Axial slice, Slice 113 of 155
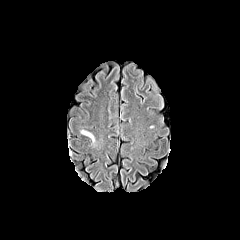
FLAIR MR.
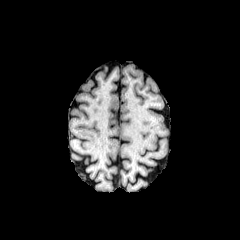
T1-weighted MRI of the same slice.
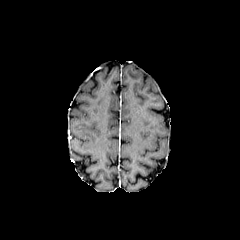
Post-contrast T1-weighted MR image.
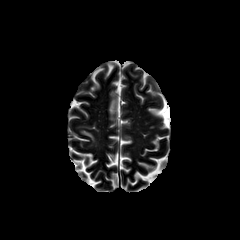
Same slice, T2-weighted MR image.
<segmentation>
  <peritumoral_edema>(x1=81, y1=130, x2=94, y2=142)</peritumoral_edema>
</segmentation>